Image width 240 mm | Axial view
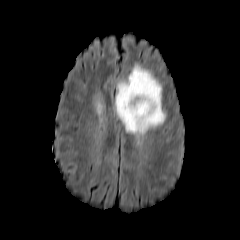
FLAIR MR image.
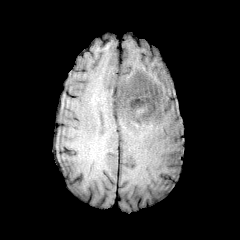
Same slice, T1-weighted MR image.
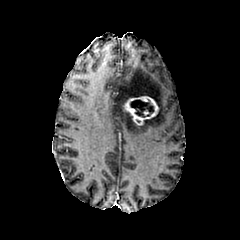
Same slice, post-contrast T1-weighted MR.
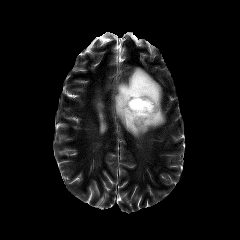
T2-weighted magnetic resonance.
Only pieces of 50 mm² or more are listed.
{"enhancing_tumor": ["(123,96,158,125)"], "necrotic_tumor_core": ["(130,99,153,117)"], "peritumoral_edema": ["(115,65,165,136)"]}